Brain, Slice 67/155
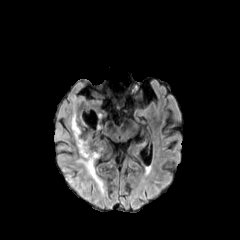
FLAIR magnetic resonance.
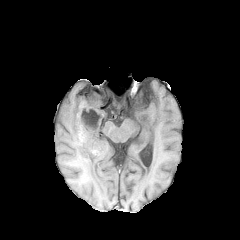
Same slice, T1-weighted magnetic resonance.
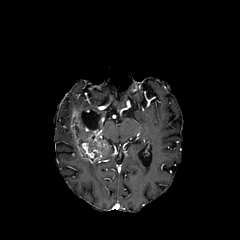
Post-contrast T1-weighted magnetic resonance of the same slice.
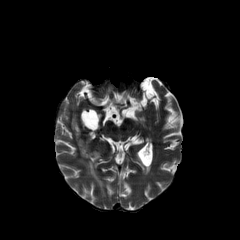
T2-weighted MR of the same slice.
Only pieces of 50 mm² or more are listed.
{
  "enhancing_tumor": [
    "rect(70, 104, 109, 164)"
  ],
  "necrotic_tumor_core": [
    "rect(88, 142, 96, 151)",
    "rect(80, 111, 100, 128)",
    "rect(75, 122, 86, 146)"
  ],
  "peritumoral_edema": [
    "rect(76, 157, 103, 189)"
  ]
}